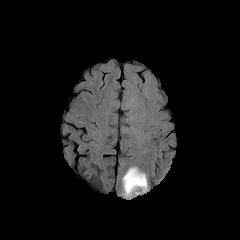
FLAIR MRI.
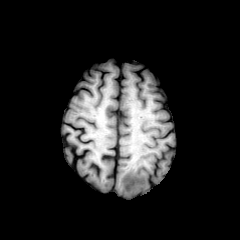
T1-weighted MRI.
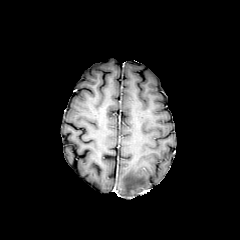
Post-contrast T1-weighted MR of the same slice.
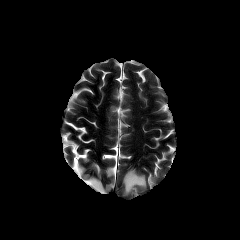
T2-weighted MRI of the same slice.
Head, 240x240 px
The peritumoral edema is at [122, 168, 147, 196].